240x240 | Image width 240 mm, 1.00 mm slice spacing | Slice 46 of 155
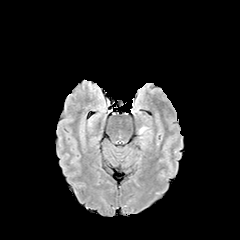
FLAIR MRI.
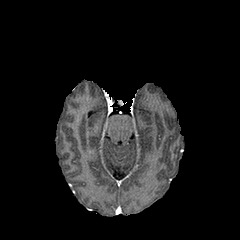
T1-weighted magnetic resonance of the same slice.
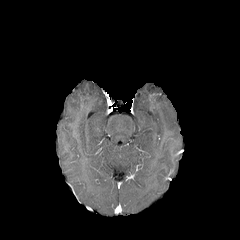
Same slice, post-contrast T1-weighted MRI.
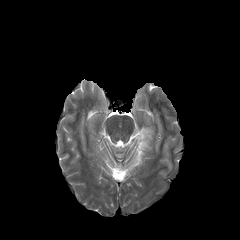
T2-weighted MR.
The peritumoral edema lies within [138, 126, 152, 147].